Image covers 240 mm x 240 mm | Axial plane | Brain
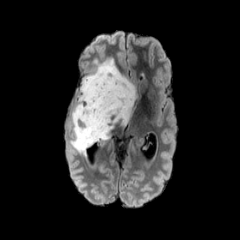
FLAIR MRI.
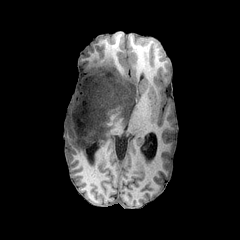
Same slice, T1-weighted MRI.
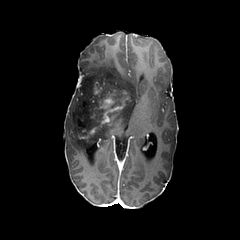
Post-contrast T1-weighted magnetic resonance.
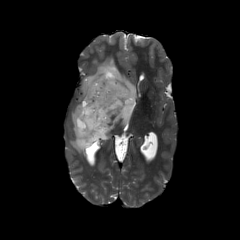
T2-weighted MR image.
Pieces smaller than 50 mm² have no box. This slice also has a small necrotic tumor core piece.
- peritumoral edema: region(70, 57, 136, 156)
- enhancing tumor: region(100, 95, 128, 123); region(93, 82, 102, 94); region(77, 119, 88, 138)